FLAIR MR image.
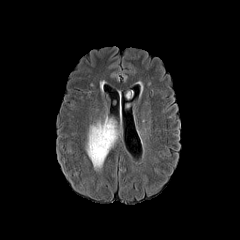
T1-weighted MR image.
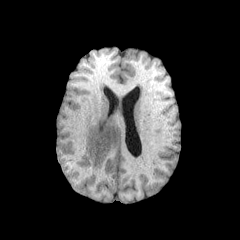
Post-contrast T1-weighted MRI.
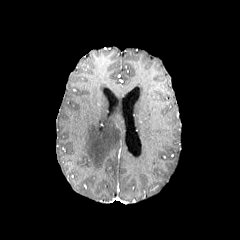
T2-weighted MR.
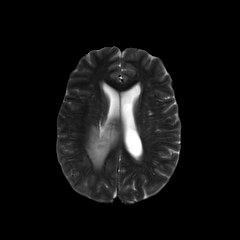
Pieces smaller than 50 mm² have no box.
peritumoral_edema:
  - bbox=[86, 119, 119, 169]